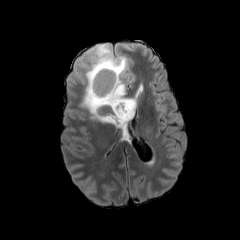
FLAIR MR.
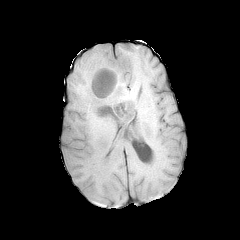
T1-weighted MRI.
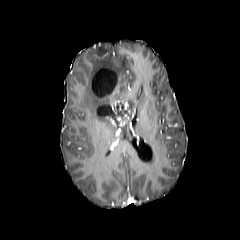
Post-contrast T1-weighted MRI of the same slice.
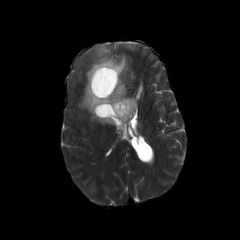
Same slice, T2-weighted magnetic resonance.
240x240 px
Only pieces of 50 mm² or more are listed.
The largest peritumoral edema region lies within {"x1": 79, "y1": 44, "x2": 136, "y2": 124}. The 2 largest necrotic tumor core regions are located at {"x1": 92, "y1": 68, "x2": 116, "y2": 96}, {"x1": 97, "y1": 106, "x2": 110, "y2": 115}. The 2 largest enhancing tumor regions are bounded by {"x1": 111, "y1": 100, "x2": 134, "y2": 128}, {"x1": 105, "y1": 85, "x2": 118, "y2": 97}.